Slice 55 of 155
FLAIR MRI.
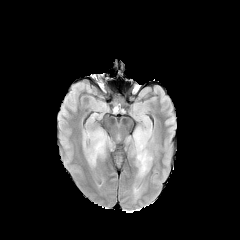
T1-weighted MR image.
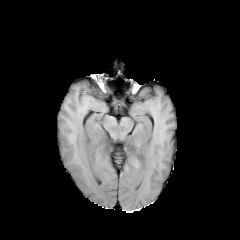
Post-contrast T1-weighted MR image.
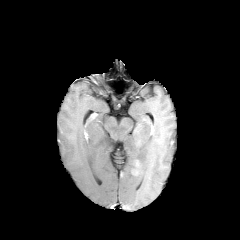
T2-weighted MR.
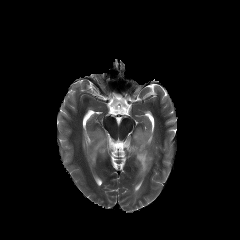
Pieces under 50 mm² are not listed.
peritumoral edema = (87, 130, 111, 165), (132, 128, 152, 176)